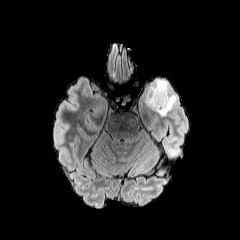
FLAIR MR.
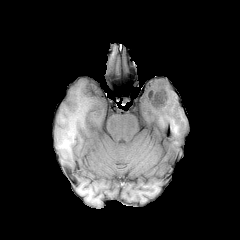
T1-weighted MR image of the same slice.
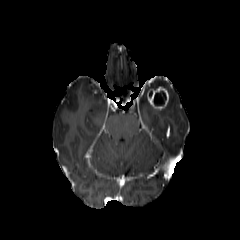
Post-contrast T1-weighted MR image.
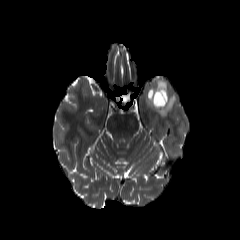
T2-weighted MR image of the same slice.
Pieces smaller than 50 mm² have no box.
<segmentation>
  <necrotic_tumor_core>(154, 91, 166, 105)</necrotic_tumor_core>
  <enhancing_tumor>(147, 86, 169, 110)</enhancing_tumor>
  <peritumoral_edema>(145, 79, 177, 116)</peritumoral_edema>
</segmentation>